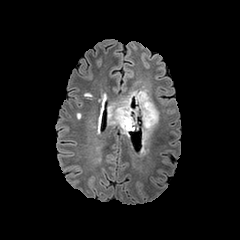
FLAIR MRI.
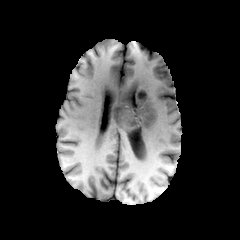
Same slice, T1-weighted MR image.
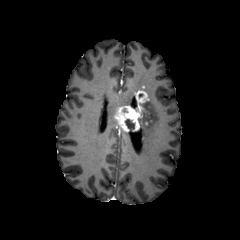
Post-contrast T1-weighted magnetic resonance.
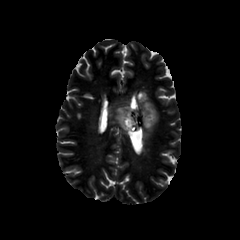
T2-weighted MRI.
Axial view.
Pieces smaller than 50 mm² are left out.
{"necrotic_tumor_core": ["<box>125,119,134,129</box>"], "enhancing_tumor": ["<box>115,91,148,131</box>"], "peritumoral_edema": ["<box>138,92,158,139</box>", "<box>108,91,137,134</box>"]}